Brain
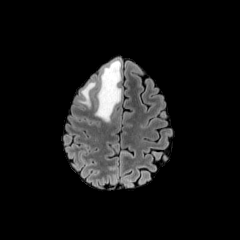
FLAIR MR.
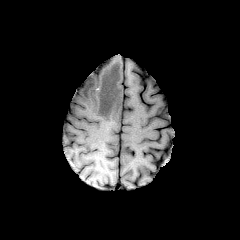
Same slice, T1-weighted MRI.
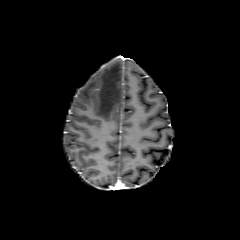
Post-contrast T1-weighted MR image of the same slice.
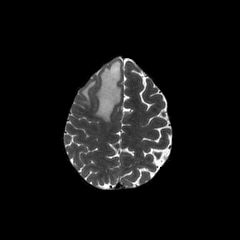
Same slice, T2-weighted MR.
Segmented structures:
- peritumoral edema: x1=94, y1=59, x2=121, y2=122; x1=78, y1=81, x2=96, y2=108